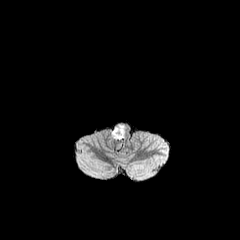
FLAIR MR.
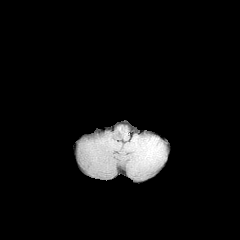
T1-weighted MR image.
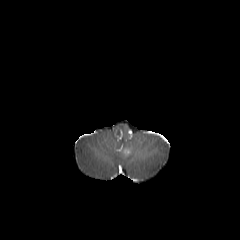
Post-contrast T1-weighted MR image.
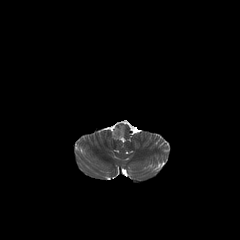
Same slice, T2-weighted MRI.
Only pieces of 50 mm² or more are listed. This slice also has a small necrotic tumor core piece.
The enhancing tumor is located at 114 128 122 140. The peritumoral edema is bounded by 111 123 125 139.